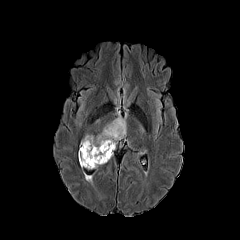
FLAIR MRI.
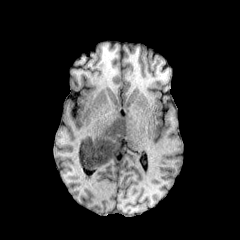
T1-weighted MR image of the same slice.
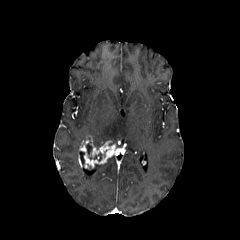
Post-contrast T1-weighted MR image.
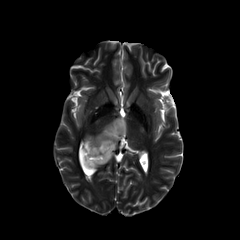
T2-weighted magnetic resonance.
Head | Image size 240x240
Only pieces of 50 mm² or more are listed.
enhancing_tumor:
  - (78,135,115,168)
necrotic_tumor_core:
  - (86,142,92,154)
  - (93,138,104,148)
  - (79,151,84,164)
peritumoral_edema:
  - (94,113,126,143)